Slice 110/155, Axial slice
FLAIR MRI.
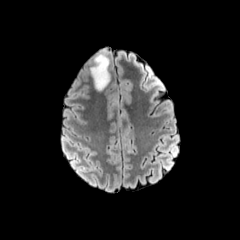
T1-weighted MRI.
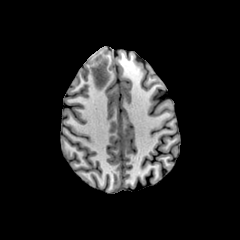
Post-contrast T1-weighted MR.
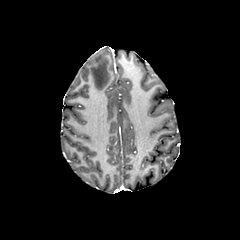
T2-weighted MR image.
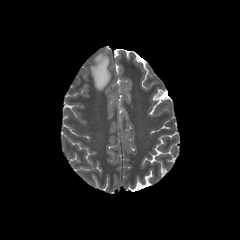
The peritumoral edema is located at x1=90 y1=51 x2=110 y2=90.